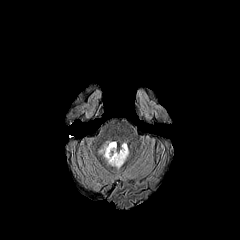
FLAIR MR image.
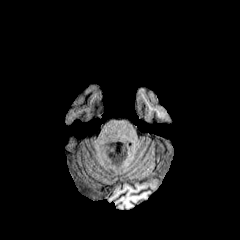
T1-weighted MRI.
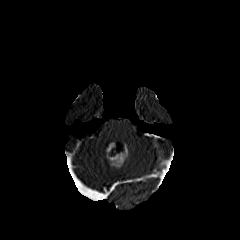
Post-contrast T1-weighted MR image.
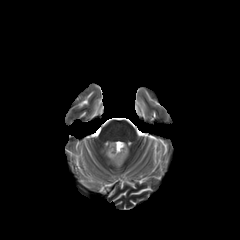
Same slice, T2-weighted magnetic resonance.
Brain
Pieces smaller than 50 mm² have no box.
necrotic tumor core: x1=109, y1=148, x2=116, y2=156 | enhancing tumor: x1=106, y1=142, x2=128, y2=167 | peritumoral edema: x1=99, y1=141, x2=110, y2=164